FLAIR MRI.
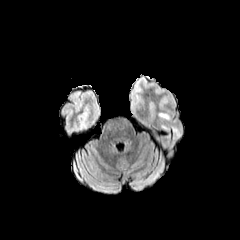
T1-weighted MR image.
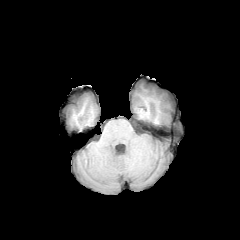
Post-contrast T1-weighted magnetic resonance.
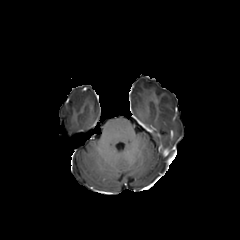
T2-weighted MRI.
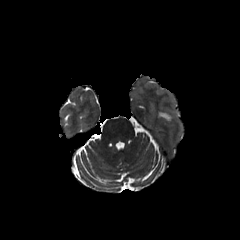
Image size 240x240 | Head
The peritumoral edema appears at 159, 113, 169, 120.